Image covers 240 mm x 240 mm. Brain. Slice 93/155. Axial plane.
FLAIR MR.
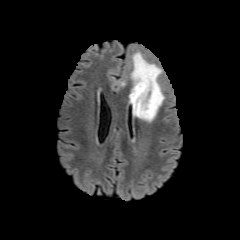
T1-weighted magnetic resonance.
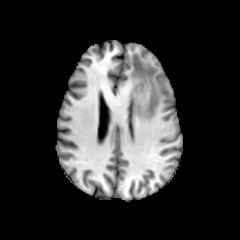
Post-contrast T1-weighted MR image.
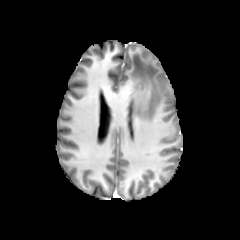
T2-weighted magnetic resonance.
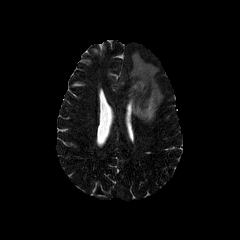
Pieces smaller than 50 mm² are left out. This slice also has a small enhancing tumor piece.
The largest peritumoral edema region is at left=129, top=52, right=163, bottom=122.